Axial slice | Image width 240 mm
FLAIR MRI.
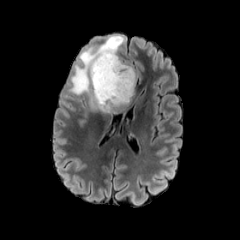
T1-weighted MR image.
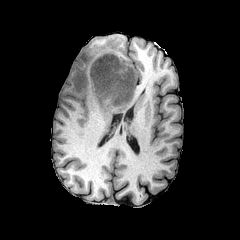
Post-contrast T1-weighted MR image.
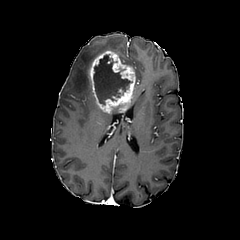
T2-weighted MRI.
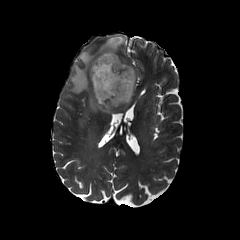
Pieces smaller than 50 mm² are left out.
The largest peritumoral edema region is located at 68:36:123:111. The largest enhancing tumor region appears at 89:50:135:113. The largest necrotic tumor core region is bounded by 93:55:133:103.